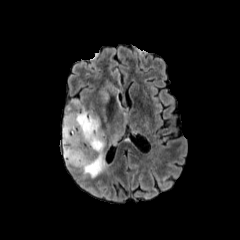
FLAIR magnetic resonance.
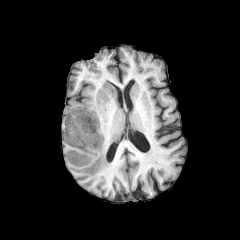
T1-weighted MR image of the same slice.
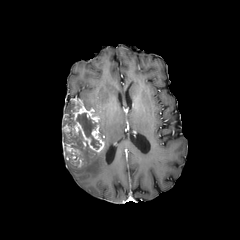
Post-contrast T1-weighted MR image of the same slice.
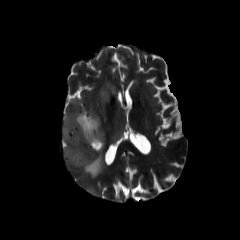
T2-weighted MRI.
Axial plane; Brain
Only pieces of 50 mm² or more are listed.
peritumoral edema at region(108, 123, 125, 147); region(101, 109, 108, 122); region(81, 147, 107, 177); region(65, 100, 74, 112); region(99, 79, 117, 105)
enhancing tumor at region(62, 98, 104, 167)
necrotic tumor core at region(76, 113, 101, 149); region(68, 114, 75, 127); region(71, 131, 83, 149)